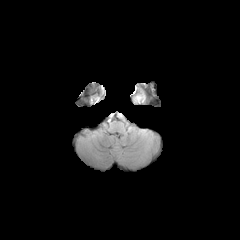
FLAIR MR.
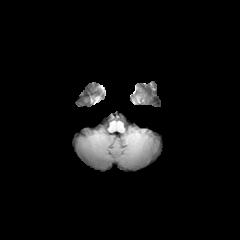
Same slice, T1-weighted MR.
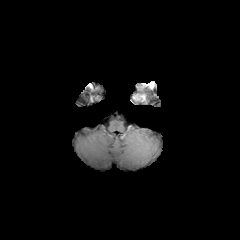
Post-contrast T1-weighted MRI.
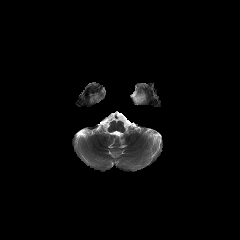
T2-weighted MR.
Axial slice. Head.
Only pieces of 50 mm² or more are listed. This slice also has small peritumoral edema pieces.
Segmented structures:
• enhancing tumor: rect(133, 94, 144, 101)